FLAIR magnetic resonance.
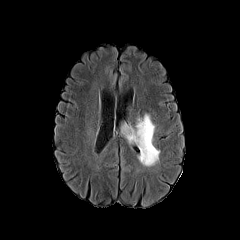
T1-weighted MR image.
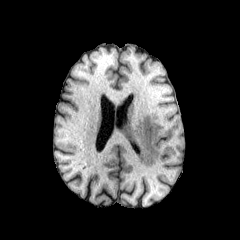
Post-contrast T1-weighted MR image.
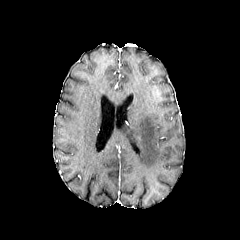
T2-weighted MR image.
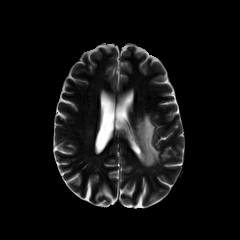
Axial view.
peritumoral edema: x1=121 y1=114 x2=159 y2=166